240x240 | Axial slice | Head | Slice 124 of 155
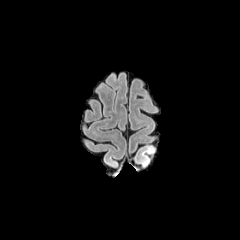
FLAIR MR.
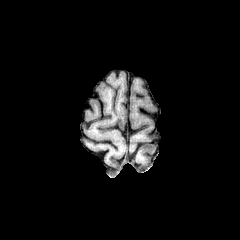
T1-weighted MR of the same slice.
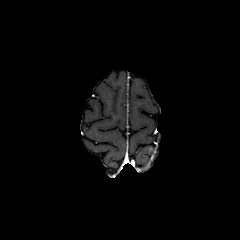
Post-contrast T1-weighted MR.
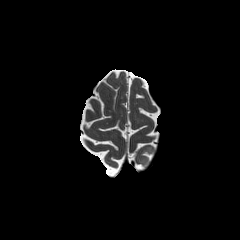
T2-weighted MR image of the same slice.
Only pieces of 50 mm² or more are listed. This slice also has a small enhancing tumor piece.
The peritumoral edema appears at <box>140,149,148,165</box>.